FLAIR MR image.
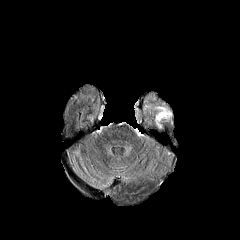
T1-weighted MR.
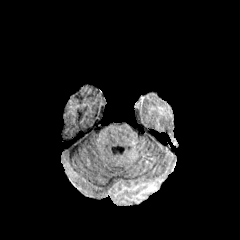
Post-contrast T1-weighted magnetic resonance.
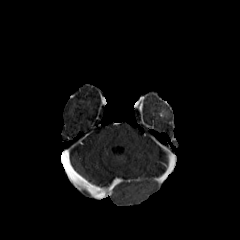
T2-weighted magnetic resonance.
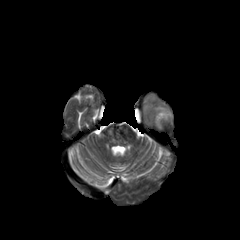
Axial plane, Image size 240x240, Brain
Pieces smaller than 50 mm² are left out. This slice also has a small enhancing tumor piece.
peritumoral edema at 158 107 171 117